Axial view, Slice 78 of 155
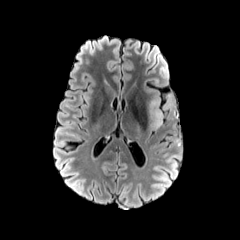
FLAIR MRI.
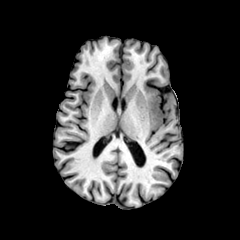
T1-weighted MRI.
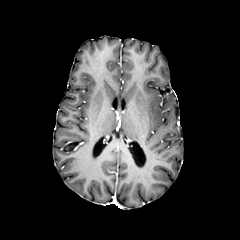
Post-contrast T1-weighted magnetic resonance.
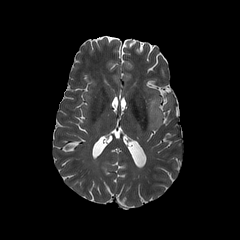
T2-weighted MRI.
The peritumoral edema lies within (x1=149, y1=98, x2=162, y2=127).